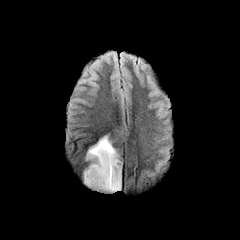
FLAIR magnetic resonance.
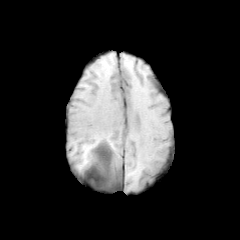
T1-weighted MR.
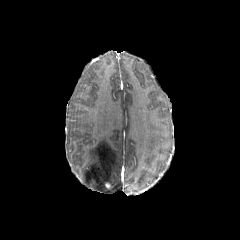
Post-contrast T1-weighted MR.
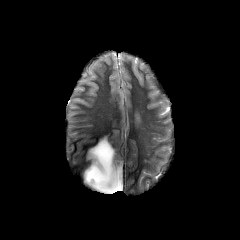
Same slice, T2-weighted magnetic resonance.
Axial plane | Head
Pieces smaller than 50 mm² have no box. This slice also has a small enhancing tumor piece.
<segmentation>
  <peritumoral_edema>[x1=83, y1=135, x2=121, y2=192]</peritumoral_edema>
</segmentation>